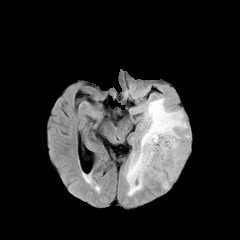
FLAIR MR.
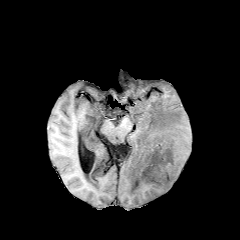
Same slice, T1-weighted MRI.
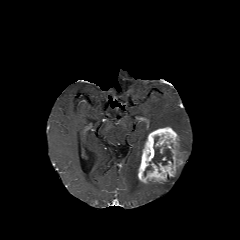
Post-contrast T1-weighted MRI of the same slice.
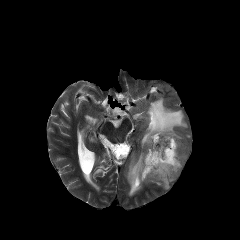
T2-weighted MR image.
Axial slice. Brain.
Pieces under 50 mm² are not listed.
<segmentation>
  <enhancing_tumor>137:127:184:183</enhancing_tumor>
  <peritumoral_edema>124:97:190:196, 160:169:179:189</peritumoral_edema>
  <necrotic_tumor_core>152:146:172:165</necrotic_tumor_core>
</segmentation>